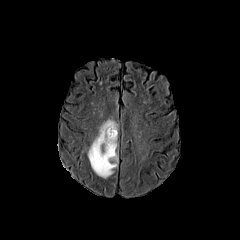
FLAIR magnetic resonance.
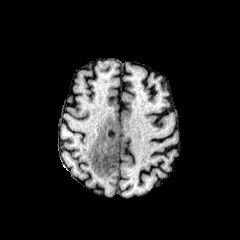
T1-weighted MR image of the same slice.
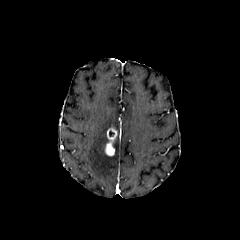
Post-contrast T1-weighted MR image.
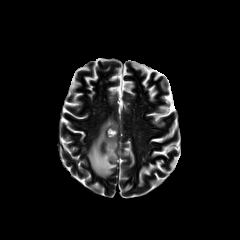
Same slice, T2-weighted magnetic resonance.
240x240 px
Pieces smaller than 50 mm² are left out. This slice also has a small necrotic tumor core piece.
The peritumoral edema is bounded by l=87, t=116, r=118, b=178. The enhancing tumor is at l=105, t=127, r=117, b=156.